Slice 92/155
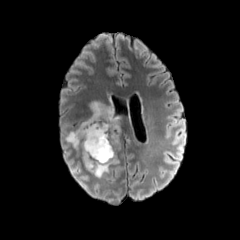
FLAIR MR image.
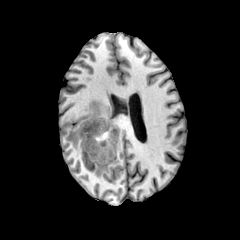
Same slice, T1-weighted MR.
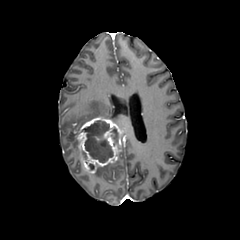
Post-contrast T1-weighted MR image.
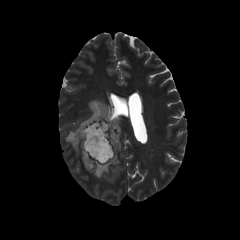
T2-weighted MR of the same slice.
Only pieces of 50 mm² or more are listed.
necrotic_tumor_core:
  - (111,127,118,145)
  - (82,120,113,162)
peritumoral_edema:
  - (65,101,119,148)
  - (94,160,118,178)
enhancing_tumor:
  - (75,116,125,173)